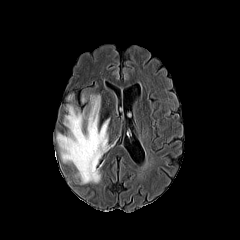
FLAIR magnetic resonance.
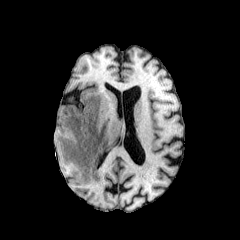
T1-weighted MRI.
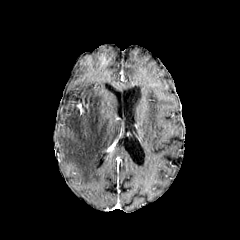
Post-contrast T1-weighted MRI of the same slice.
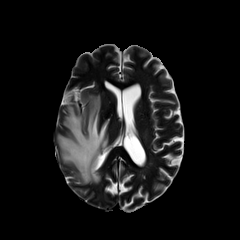
Same slice, T2-weighted MR.
Brain
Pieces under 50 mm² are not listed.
<segmentation>
  <peritumoral_edema>box(57, 95, 109, 183)</peritumoral_edema>
</segmentation>